FLAIR MRI.
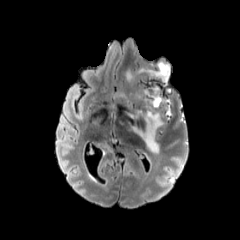
T1-weighted magnetic resonance.
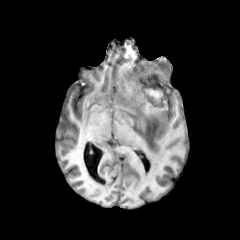
Post-contrast T1-weighted MR.
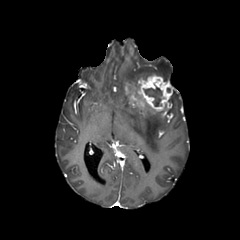
T2-weighted magnetic resonance.
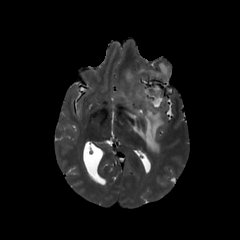
Head, 240x240
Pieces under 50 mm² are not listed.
enhancing tumor = <bbox>136, 74, 172, 111</bbox>
peritumoral edema = <bbox>120, 61, 171, 153</bbox>
necrotic tumor core = <bbox>144, 87, 162, 106</bbox>